Brain | Image width 240 mm
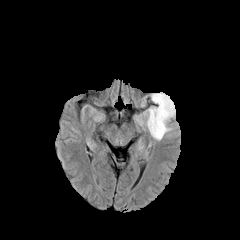
FLAIR MR.
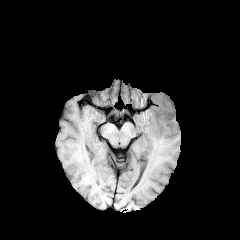
T1-weighted magnetic resonance of the same slice.
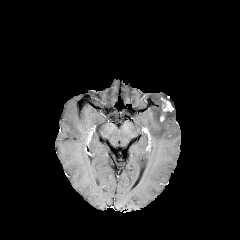
Same slice, post-contrast T1-weighted MR image.
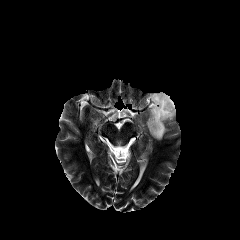
T2-weighted magnetic resonance.
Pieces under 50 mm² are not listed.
enhancing tumor = box=[161, 98, 173, 111]
peritumoral edema = box=[136, 92, 175, 140]